Image width 240 mm, 1.00 mm slice spacing; Axial view
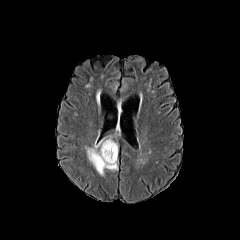
FLAIR magnetic resonance.
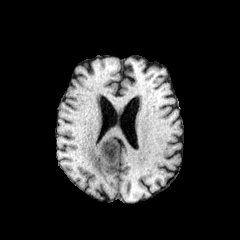
Same slice, T1-weighted magnetic resonance.
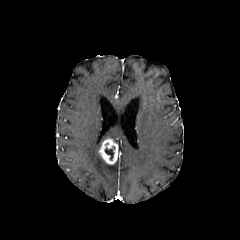
Post-contrast T1-weighted magnetic resonance.
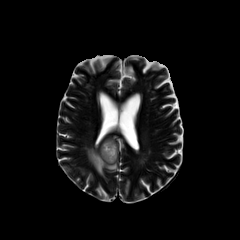
T2-weighted MR of the same slice.
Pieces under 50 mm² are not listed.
<segmentation>
  <enhancing_tumor>region(98, 137, 117, 164)</enhancing_tumor>
  <necrotic_tumor_core>region(105, 147, 114, 160)</necrotic_tumor_core>
  <peritumoral_edema>region(85, 135, 118, 176)</peritumoral_edema>
</segmentation>